Axial slice | Slice 62/155
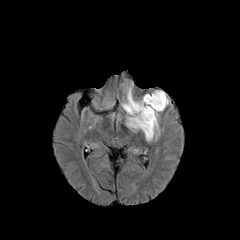
FLAIR MR.
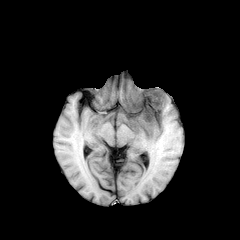
T1-weighted magnetic resonance.
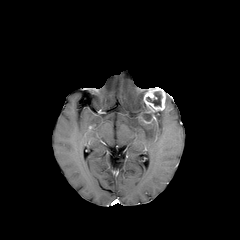
Post-contrast T1-weighted MR image.
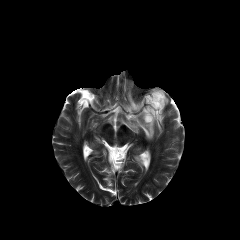
T2-weighted MR image.
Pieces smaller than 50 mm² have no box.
necrotic tumor core — box=[147, 92, 161, 106]
enhancing tumor — box=[138, 88, 165, 124]
peritumoral edema — box=[122, 88, 158, 140]